240x240 px; Brain; Slice index 65; Image width 240 mm, 1.00 mm slice spacing
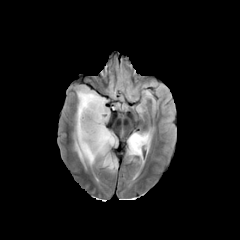
FLAIR MRI.
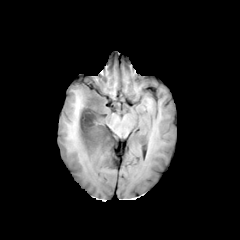
T1-weighted magnetic resonance of the same slice.
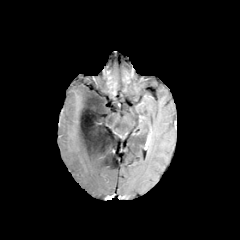
Post-contrast T1-weighted magnetic resonance of the same slice.
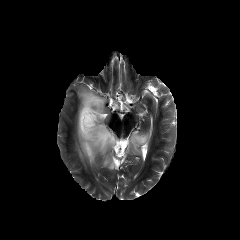
T2-weighted MRI of the same slice.
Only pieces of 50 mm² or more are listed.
{
  "peritumoral_edema": [
    "bbox(128, 133, 150, 156)",
    "bbox(75, 87, 117, 169)"
  ],
  "necrotic_tumor_core": [
    "bbox(80, 95, 114, 149)"
  ]
}